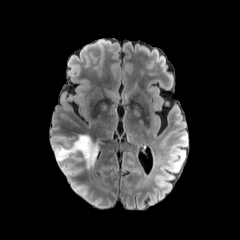
FLAIR MRI.
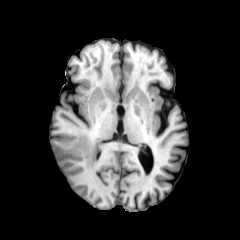
T1-weighted magnetic resonance.
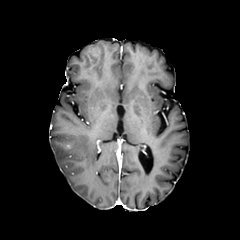
Post-contrast T1-weighted magnetic resonance of the same slice.
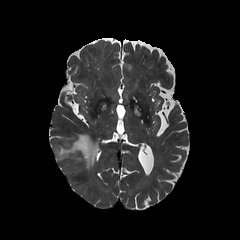
T2-weighted MRI.
Brain.
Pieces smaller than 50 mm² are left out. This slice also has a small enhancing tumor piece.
peritumoral edema — <bbox>55, 134, 99, 167</bbox>